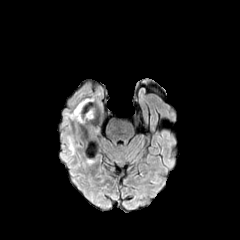
FLAIR magnetic resonance.
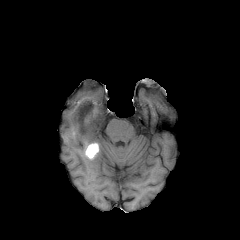
T1-weighted MR of the same slice.
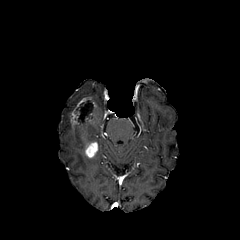
Post-contrast T1-weighted MR of the same slice.
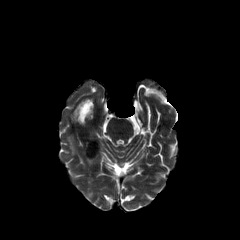
Same slice, T2-weighted magnetic resonance.
Axial view. Head.
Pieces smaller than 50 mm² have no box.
enhancing tumor = left=69, top=97, right=101, bottom=143
peritumoral edema = left=67, top=136, right=75, bottom=154
necrotic tumor core = left=80, top=101, right=93, bottom=122